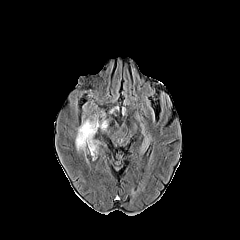
FLAIR MR image.
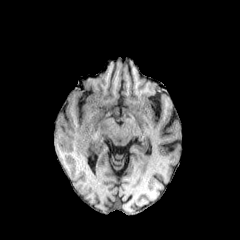
Same slice, T1-weighted MR.
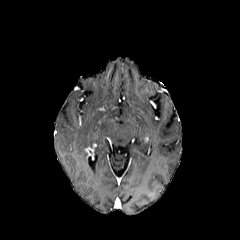
Post-contrast T1-weighted MR image.
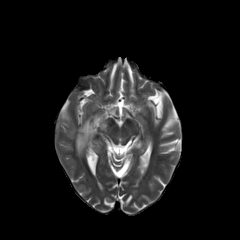
T2-weighted MR.
Axial plane
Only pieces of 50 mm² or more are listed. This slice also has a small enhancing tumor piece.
The largest peritumoral edema region appears at bbox(75, 115, 107, 153).